FLAIR MR.
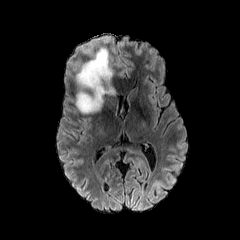
T1-weighted MR.
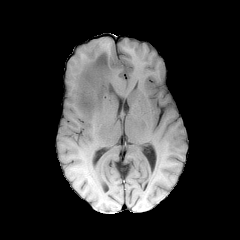
Post-contrast T1-weighted MRI.
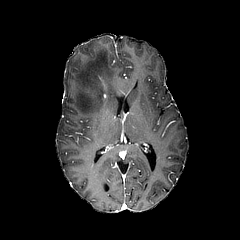
T2-weighted MR image.
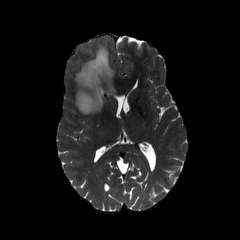
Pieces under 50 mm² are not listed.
peritumoral edema: (76, 43, 114, 113)